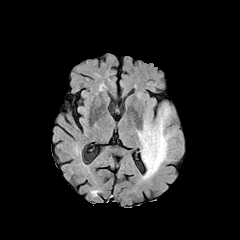
FLAIR MRI.
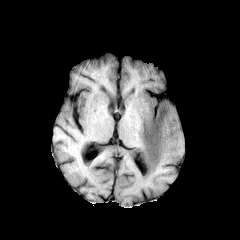
T1-weighted MR of the same slice.
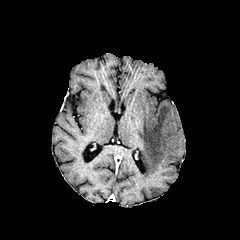
Post-contrast T1-weighted MR.
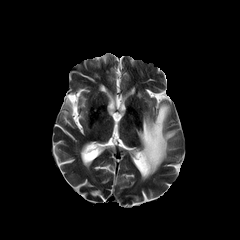
T2-weighted magnetic resonance.
Axial slice; Head; 240x240 px
The peritumoral edema appears at [x1=137, y1=103, x2=176, y2=179].